FLAIR MRI.
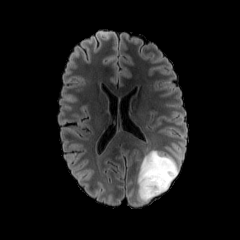
T1-weighted MR.
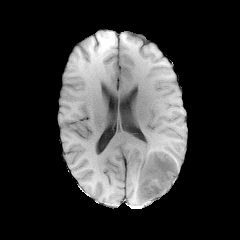
Post-contrast T1-weighted magnetic resonance.
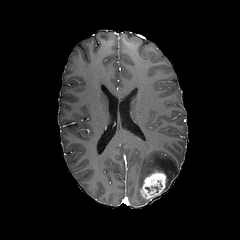
T2-weighted MR.
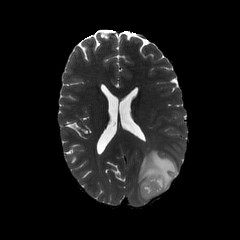
Axial slice
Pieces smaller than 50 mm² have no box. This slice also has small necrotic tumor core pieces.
The enhancing tumor is located at bbox(140, 170, 166, 199). The peritumoral edema is located at bbox(137, 150, 179, 204).